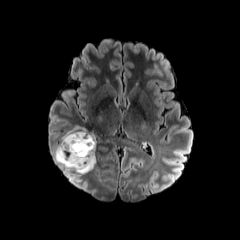
FLAIR MR.
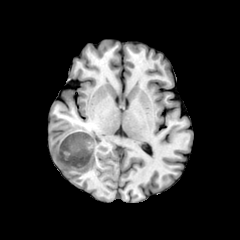
Same slice, T1-weighted MR image.
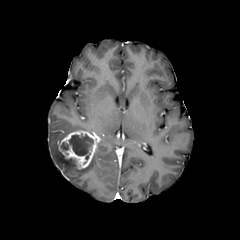
Same slice, post-contrast T1-weighted MR.
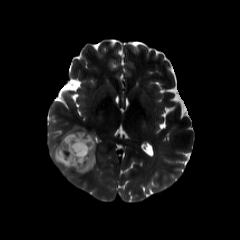
T2-weighted MR.
Axial slice; 240x240; Head
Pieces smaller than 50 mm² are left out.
peritumoral edema: (x1=53, y1=144, x2=95, y2=173), (x1=61, y1=126, x2=86, y2=140)
enhancing tumor: (x1=59, y1=131, x2=97, y2=168)
necrotic tumor core: (x1=69, y1=133, x2=93, y2=159), (x1=61, y1=142, x2=68, y2=150)